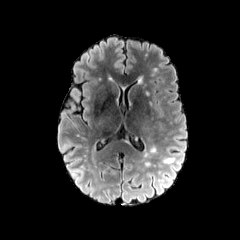
FLAIR MR image.
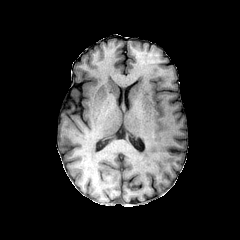
T1-weighted MRI.
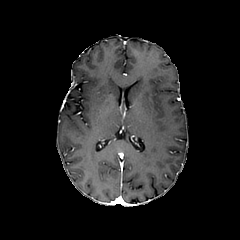
Post-contrast T1-weighted MR.
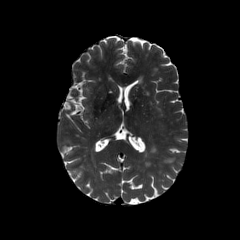
Same slice, T2-weighted MR image.
Head, Axial plane
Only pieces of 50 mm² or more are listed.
peritumoral_edema:
  - l=163, t=158, r=174, b=163